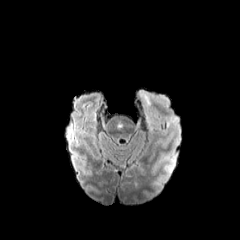
FLAIR magnetic resonance.
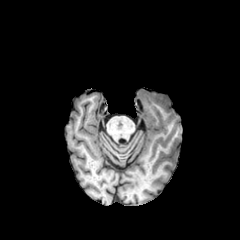
Same slice, T1-weighted magnetic resonance.
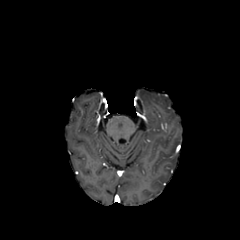
Post-contrast T1-weighted MR.
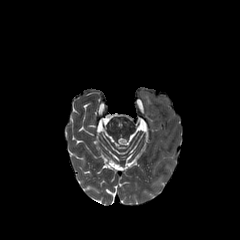
Same slice, T2-weighted magnetic resonance.
Axial view
peritumoral_edema:
  - (137, 90, 171, 113)